Slice 46/155. Image width 240 mm. Axial slice.
FLAIR magnetic resonance.
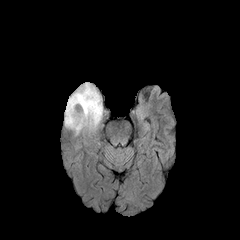
T1-weighted magnetic resonance.
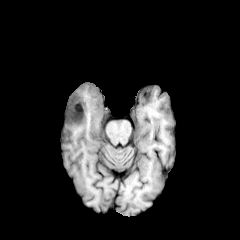
Post-contrast T1-weighted MR.
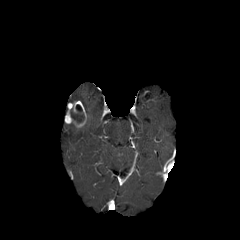
T2-weighted MRI.
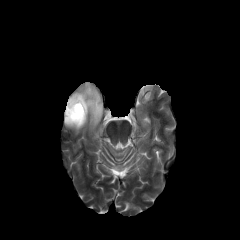
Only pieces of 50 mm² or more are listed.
The largest peritumoral edema region lies within bbox(65, 82, 103, 134). The largest necrotic tumor core region is at bbox(71, 109, 84, 122). The enhancing tumor is at bbox(64, 100, 86, 127).